FLAIR magnetic resonance.
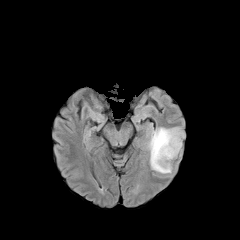
T1-weighted MR image.
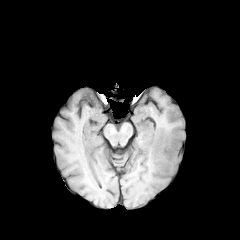
Post-contrast T1-weighted MRI.
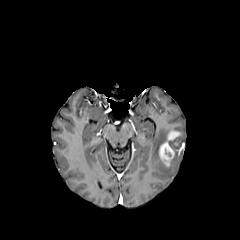
T2-weighted MRI.
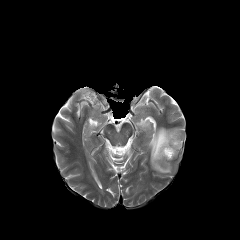
Head.
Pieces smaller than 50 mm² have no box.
enhancing tumor — (159, 130, 181, 166)
peritumoral edema — (148, 127, 183, 173)